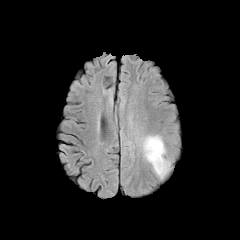
FLAIR MR.
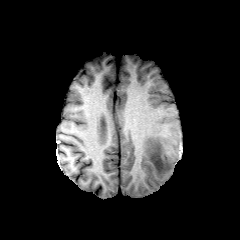
T1-weighted MR image.
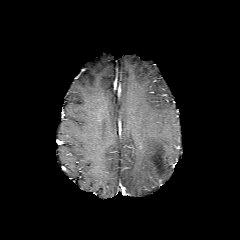
Post-contrast T1-weighted magnetic resonance.
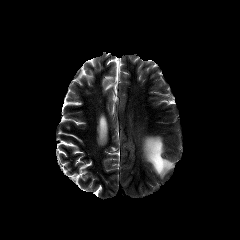
T2-weighted MR of the same slice.
240x240, Axial view
{
  "peritumoral_edema": [
    "[x1=142, y1=136, x2=171, y2=177]"
  ]
}